Head, Axial slice, Slice 113/155, 240x240 px
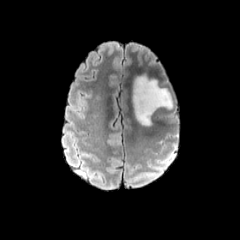
FLAIR MR image.
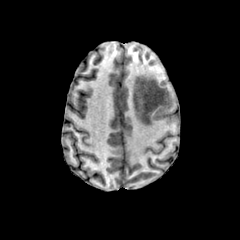
Same slice, T1-weighted MR.
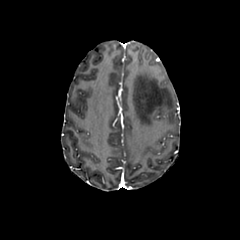
Post-contrast T1-weighted magnetic resonance.
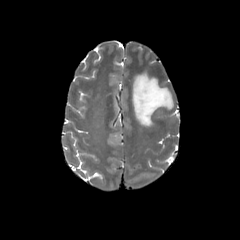
T2-weighted MR.
The peritumoral edema appears at {"x1": 133, "y1": 74, "x2": 173, "y2": 126}.